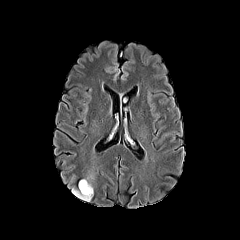
FLAIR MRI.
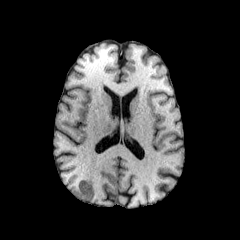
T1-weighted MR of the same slice.
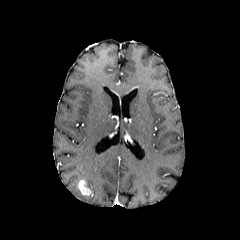
Post-contrast T1-weighted magnetic resonance of the same slice.
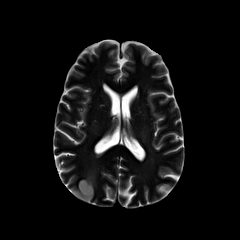
Same slice, T2-weighted MR image.
The enhancing tumor lies within (78,180,93,196). 2 peritumoral edema regions are bounded by (82,175,93,191), (72,187,91,201).